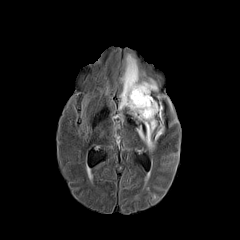
FLAIR MR.
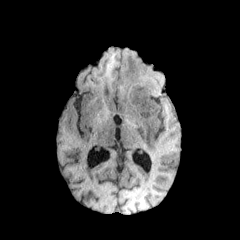
T1-weighted MRI.
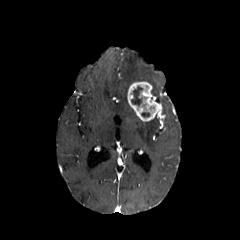
Same slice, post-contrast T1-weighted magnetic resonance.
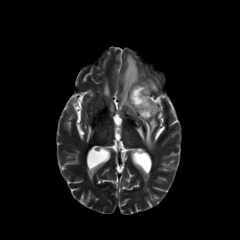
Same slice, T2-weighted magnetic resonance.
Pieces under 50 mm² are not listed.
Findings:
* peritumoral edema: bbox(141, 78, 158, 91); bbox(136, 118, 164, 151); bbox(118, 54, 145, 121)
* necrotic tumor core: bbox(131, 86, 142, 105)
* enhancing tumor: bbox(127, 81, 162, 121)